Image covers 240 mm x 240 mm | 240x240 | Slice index 81 | Head
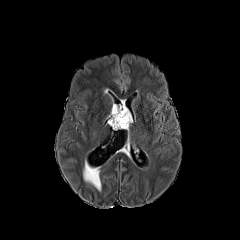
FLAIR MR.
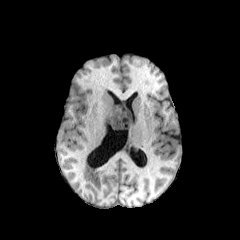
T1-weighted MR of the same slice.
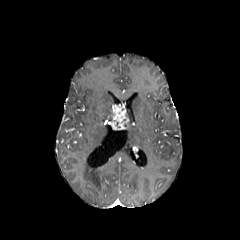
Same slice, post-contrast T1-weighted MR image.
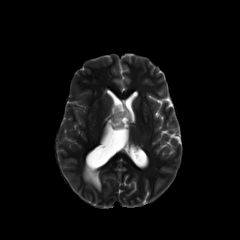
Same slice, T2-weighted magnetic resonance.
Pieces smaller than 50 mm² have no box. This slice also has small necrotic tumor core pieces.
enhancing tumor at box(108, 104, 129, 129)
peritumoral edema at box(127, 109, 132, 129)